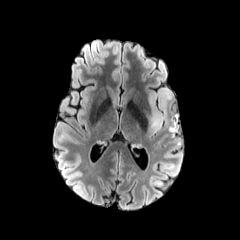
FLAIR magnetic resonance.
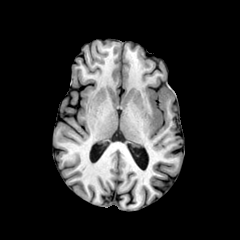
Same slice, T1-weighted MR image.
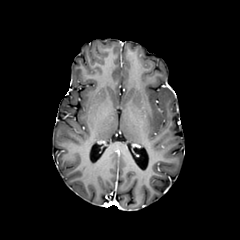
Post-contrast T1-weighted MRI.
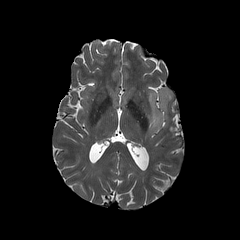
Same slice, T2-weighted magnetic resonance.
Axial slice
Segmented structures:
- peritumoral edema: 149:88:172:132